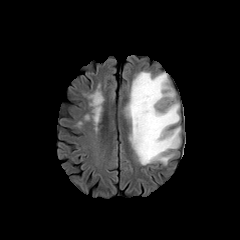
FLAIR MR image.
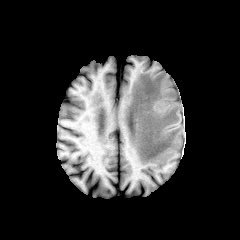
T1-weighted MRI.
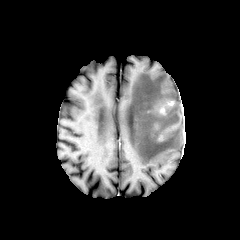
Post-contrast T1-weighted MRI of the same slice.
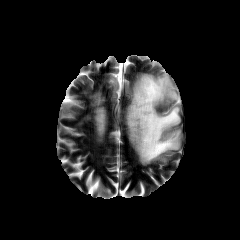
Same slice, T2-weighted magnetic resonance.
Axial slice | Brain | Image size 240x240
• peritumoral edema: (x1=126, y1=72, x2=180, y2=165)